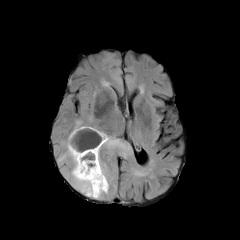
FLAIR MRI.
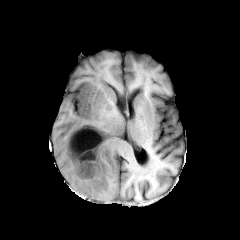
T1-weighted MR image.
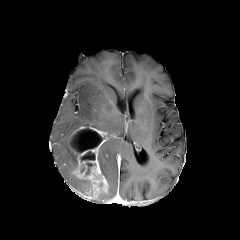
Post-contrast T1-weighted MRI.
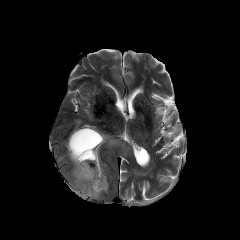
T2-weighted MRI.
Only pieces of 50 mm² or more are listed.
necrotic tumor core — l=71, t=127, r=102, b=153; l=80, t=151, r=95, b=161
peritumoral edema — l=71, t=120, r=81, b=133; l=98, t=151, r=106, b=179; l=59, t=134, r=76, b=169; l=102, t=136, r=126, b=148; l=71, t=170, r=88, b=195
enhancing tumor — l=69, t=126, r=108, b=197